FLAIR magnetic resonance.
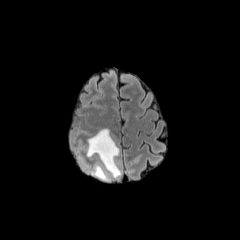
T1-weighted MR image.
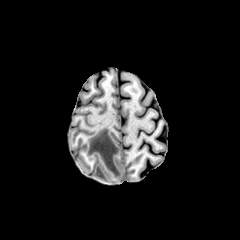
Post-contrast T1-weighted MR.
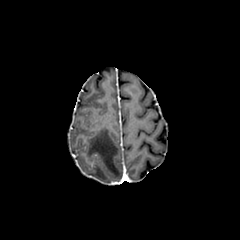
T2-weighted magnetic resonance.
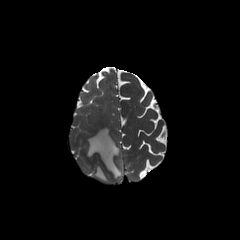
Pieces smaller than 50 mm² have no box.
peritumoral edema at [92, 164, 109, 181], [86, 128, 122, 178]